FLAIR MR image.
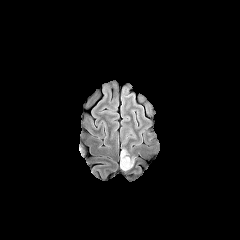
T1-weighted MRI.
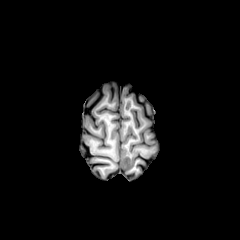
Post-contrast T1-weighted MR image.
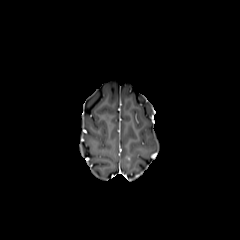
T2-weighted MR image.
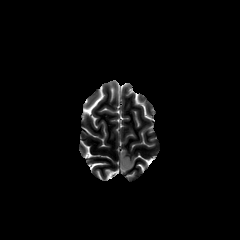
Axial slice.
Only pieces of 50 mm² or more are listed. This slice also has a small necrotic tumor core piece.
enhancing tumor: (left=125, top=155, right=130, bottom=167)
peritumoral edema: (left=120, top=147, right=135, bottom=171)